Slice 68 of 155; Image width 240 mm; Axial slice; Brain
FLAIR MRI.
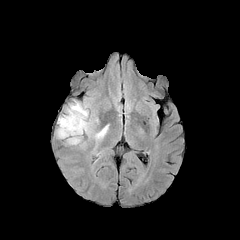
T1-weighted magnetic resonance.
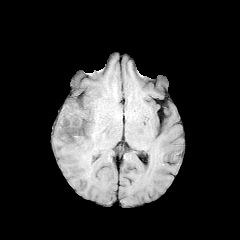
Post-contrast T1-weighted MR.
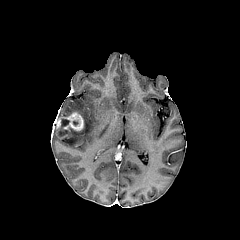
T2-weighted MRI.
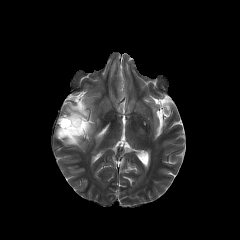
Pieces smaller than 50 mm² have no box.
peritumoral edema at (left=61, top=101, right=93, bottom=144), (left=95, top=125, right=108, bottom=140)
enhancing tumor at (left=57, top=112, right=84, bottom=138)
necrotic tumor core at (left=60, top=119, right=69, bottom=128)